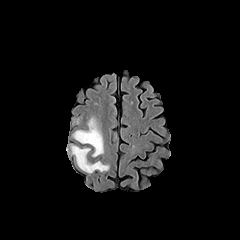
FLAIR magnetic resonance.
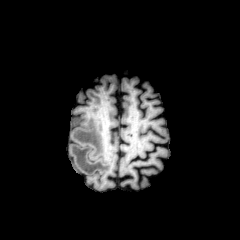
T1-weighted MR image of the same slice.
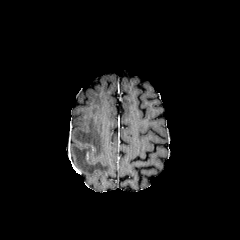
Post-contrast T1-weighted MR image of the same slice.
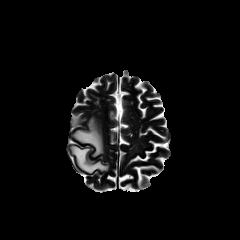
T2-weighted MR.
240x240 px
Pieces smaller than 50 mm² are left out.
peritumoral edema: x1=73, y1=117, x2=103, y2=156; x1=71, y1=145, x2=109, y2=173